Image covers 240 mm x 240 mm | Brain
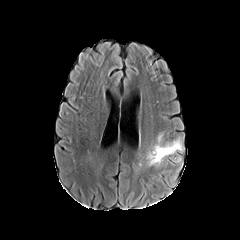
FLAIR MR.
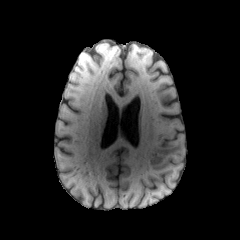
T1-weighted magnetic resonance.
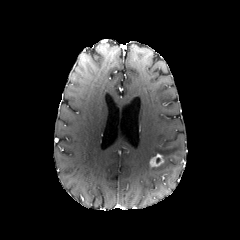
Post-contrast T1-weighted MR.
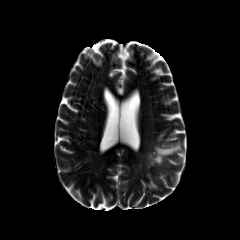
Same slice, T2-weighted MR image.
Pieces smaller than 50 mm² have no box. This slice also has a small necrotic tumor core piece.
enhancing tumor: [150,154,163,166] | peritumoral edema: [145,133,184,166], [172,155,181,163]